FLAIR magnetic resonance.
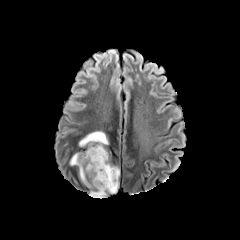
T1-weighted magnetic resonance.
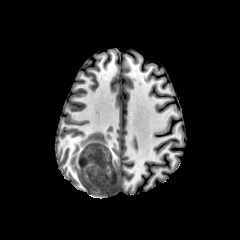
Post-contrast T1-weighted MR.
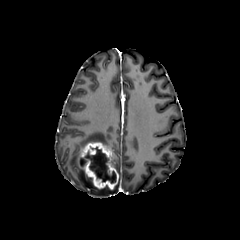
T2-weighted magnetic resonance.
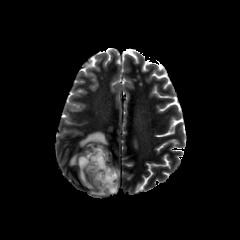
Brain | Axial slice
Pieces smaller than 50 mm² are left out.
Segmented structures:
• peritumoral edema: 79,131,108,147; 69,153,80,165; 79,168,118,196
• enhancing tumor: 77,142,118,189
• necrotic tumor core: 80,147,116,183